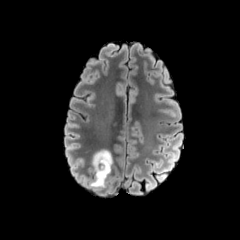
FLAIR MR image.
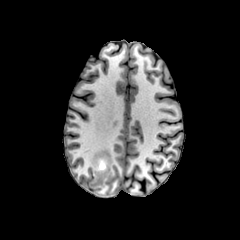
T1-weighted MR.
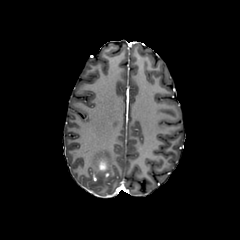
Post-contrast T1-weighted magnetic resonance of the same slice.
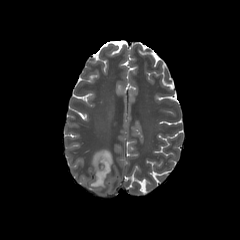
T2-weighted magnetic resonance of the same slice.
Axial plane
enhancing tumor: bbox(99, 160, 108, 176) | peritumoral edema: bbox(89, 149, 113, 190)